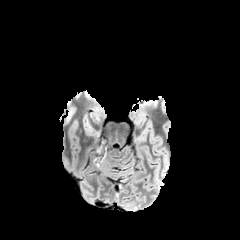
FLAIR MR.
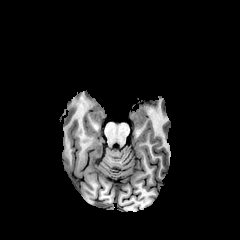
T1-weighted magnetic resonance.
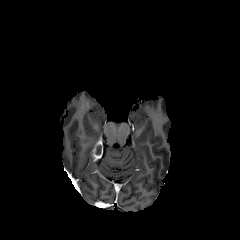
Post-contrast T1-weighted MRI of the same slice.
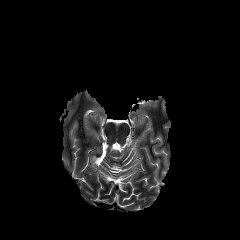
T2-weighted MR.
Head; Axial slice
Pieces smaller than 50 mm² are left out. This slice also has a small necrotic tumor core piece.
The enhancing tumor is located at [x1=92, y1=141, x2=103, y2=159].